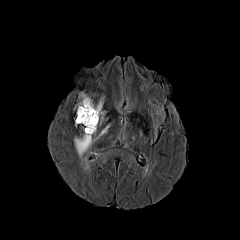
FLAIR MRI.
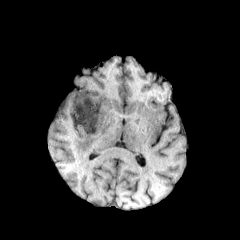
Same slice, T1-weighted magnetic resonance.
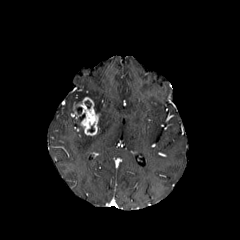
Post-contrast T1-weighted MRI of the same slice.
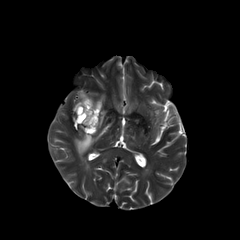
T2-weighted magnetic resonance.
240x240
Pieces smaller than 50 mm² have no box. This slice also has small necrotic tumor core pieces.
The 2 largest peritumoral edema regions are located at 94, 96, 104, 124; 74, 124, 110, 158. The enhancing tumor is located at 73, 97, 99, 135.